Brain. Image width 240 mm. Axial view.
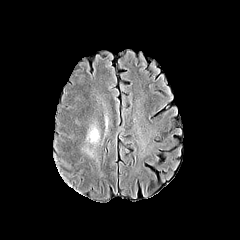
FLAIR magnetic resonance.
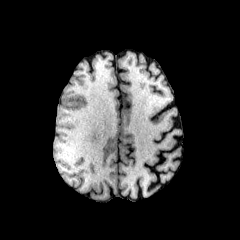
T1-weighted magnetic resonance.
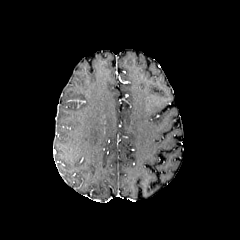
Same slice, post-contrast T1-weighted MR image.
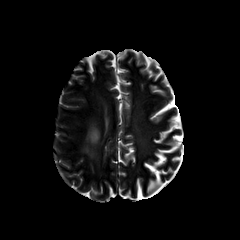
Same slice, T2-weighted MR.
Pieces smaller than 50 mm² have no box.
The largest peritumoral edema region is bounded by region(89, 128, 99, 142).